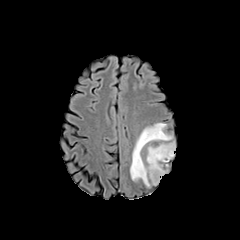
FLAIR MRI.
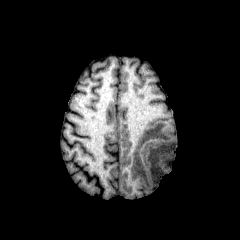
T1-weighted MRI of the same slice.
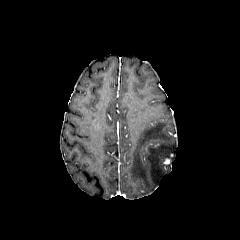
Post-contrast T1-weighted magnetic resonance of the same slice.
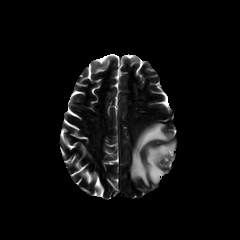
Same slice, T2-weighted MR image.
Brain.
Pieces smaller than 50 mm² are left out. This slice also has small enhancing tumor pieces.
peritumoral edema: (130, 123, 175, 186)